FLAIR MR.
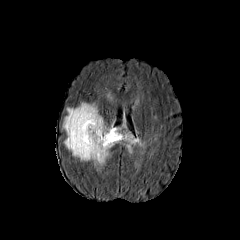
T1-weighted MR image.
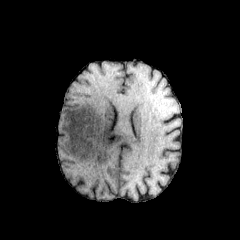
Post-contrast T1-weighted MR image.
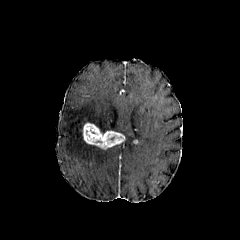
T2-weighted MRI.
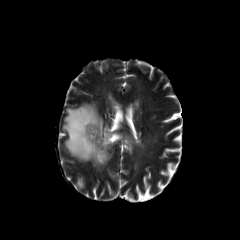
Axial slice
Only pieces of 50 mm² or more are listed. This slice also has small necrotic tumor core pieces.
enhancing tumor at x1=82, y1=122, x2=125, y2=149
peritumoral edema at x1=61, y1=102, x2=145, y2=172